Brain
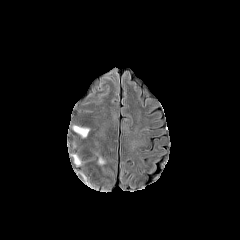
FLAIR MRI.
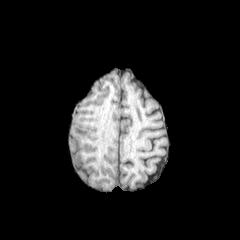
T1-weighted MR image of the same slice.
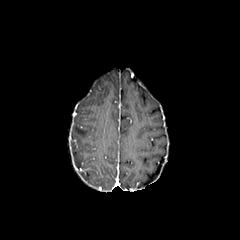
Post-contrast T1-weighted MRI of the same slice.
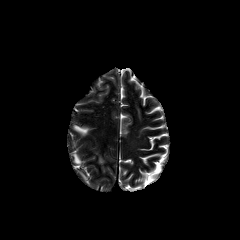
T2-weighted MR image.
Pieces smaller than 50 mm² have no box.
The 2 largest peritumoral edema regions are located at box=[73, 125, 89, 136]; box=[73, 154, 80, 164].